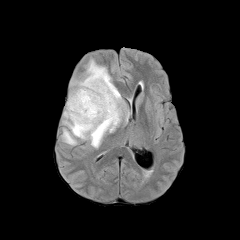
FLAIR MRI.
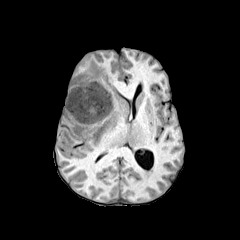
T1-weighted magnetic resonance of the same slice.
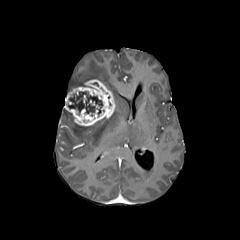
Post-contrast T1-weighted MR image.
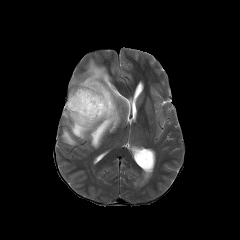
T2-weighted MR.
Image size 240x240 | Brain
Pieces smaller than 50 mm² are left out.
The largest enhancing tumor region is at box=[64, 79, 115, 126]. 2 peritumoral edema regions appear at box=[62, 129, 76, 144]; box=[63, 59, 123, 147]. The largest necrotic tumor core region appears at box=[68, 91, 102, 113].